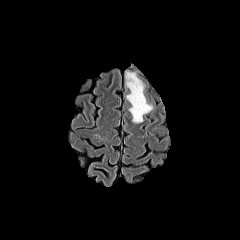
FLAIR magnetic resonance.
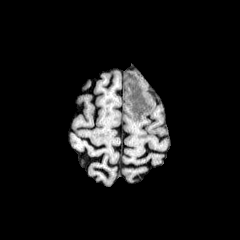
T1-weighted MR image of the same slice.
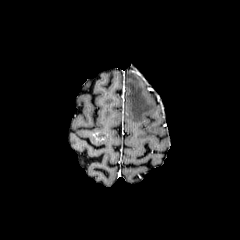
Post-contrast T1-weighted magnetic resonance.
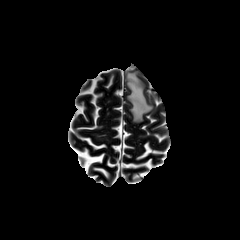
T2-weighted MR image.
Head
peritumoral edema: bounding box bbox=[126, 71, 152, 122]